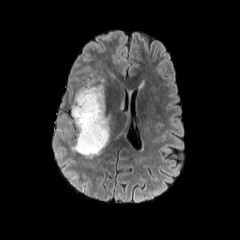
FLAIR MR.
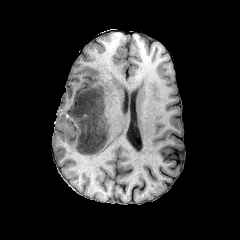
T1-weighted MRI.
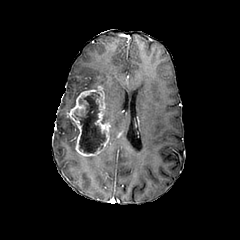
Post-contrast T1-weighted magnetic resonance.
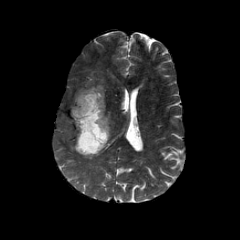
T2-weighted magnetic resonance.
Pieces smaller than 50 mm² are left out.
necrotic_tumor_core:
  - x1=74, y1=92, x2=105, y2=154
peritumoral_edema:
  - x1=104, y1=109, x2=114, y2=136
  - x1=70, y1=80, x2=96, y2=108
enhancing_tumor:
  - x1=71, y1=85, x2=110, y2=156